FLAIR MRI.
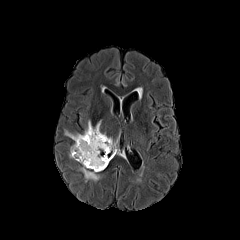
T1-weighted MRI.
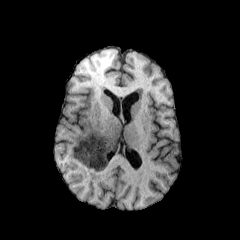
Post-contrast T1-weighted MR image.
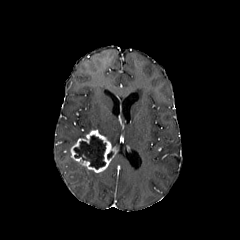
T2-weighted magnetic resonance.
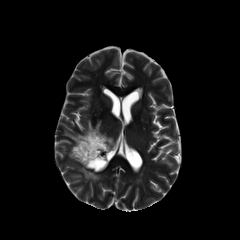
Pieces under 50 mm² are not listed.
Annotated regions:
* necrotic tumor core: rect(74, 135, 105, 169)
* enhancing tumor: rect(70, 129, 116, 172)
* peritumoral edema: rect(64, 120, 106, 143); rect(107, 137, 117, 147); rect(77, 162, 102, 181)